FLAIR MRI.
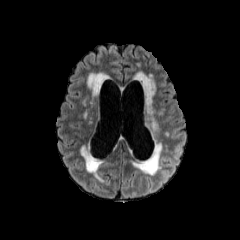
T1-weighted magnetic resonance.
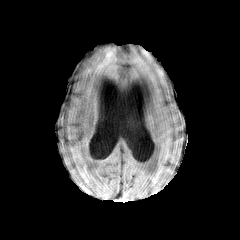
Post-contrast T1-weighted MR image.
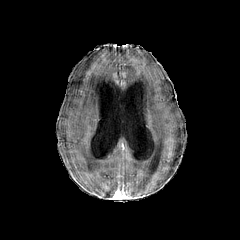
T2-weighted MR image.
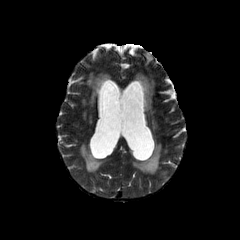
240x240 px. Head. Axial plane.
<segmentation>
  <peritumoral_edema>(144,113,160,133)</peritumoral_edema>
</segmentation>